Image width 240 mm, 1.00 mm slice spacing, Slice 62 of 155, Axial slice
FLAIR MR.
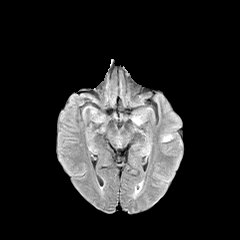
T1-weighted magnetic resonance.
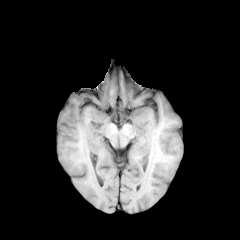
Post-contrast T1-weighted MR.
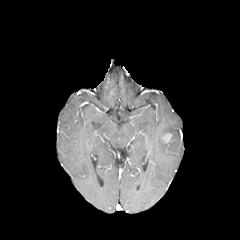
T2-weighted magnetic resonance.
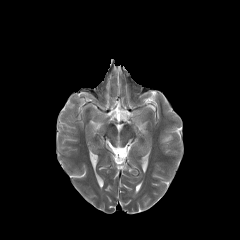
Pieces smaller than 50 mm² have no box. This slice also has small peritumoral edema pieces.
- enhancing tumor: <bbox>163, 134, 171, 141</bbox>